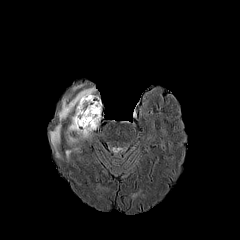
FLAIR magnetic resonance.
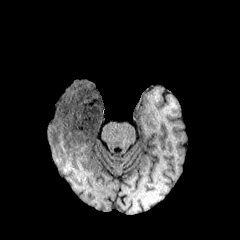
T1-weighted MR image.
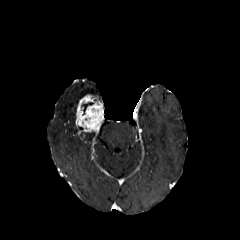
Post-contrast T1-weighted MR.
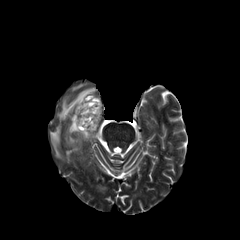
T2-weighted MR.
Head
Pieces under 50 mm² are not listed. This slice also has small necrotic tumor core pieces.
peritumoral_edema:
  - 80:132:92:138
  - 65:147:78:159
  - 50:87:97:157
enhancing_tumor:
  - 75:94:103:138